FLAIR MRI.
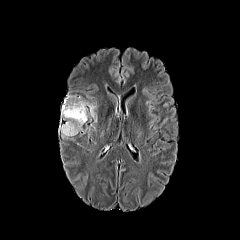
T1-weighted magnetic resonance.
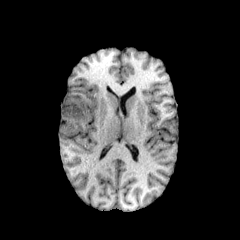
Post-contrast T1-weighted MR image.
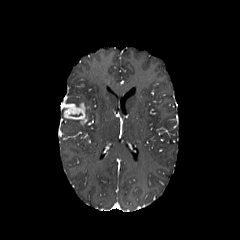
T2-weighted magnetic resonance.
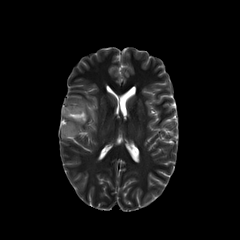
Head. Axial plane.
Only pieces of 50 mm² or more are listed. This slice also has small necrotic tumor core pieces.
The enhancing tumor is bounded by x1=61, y1=100, x2=87, y2=124. 2 peritumoral edema regions appear at x1=61, y1=117, x2=82, y2=136; x1=69, y1=97, x2=94, y2=117.